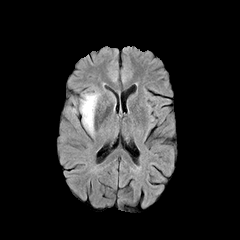
FLAIR MRI.
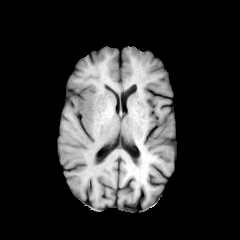
T1-weighted magnetic resonance.
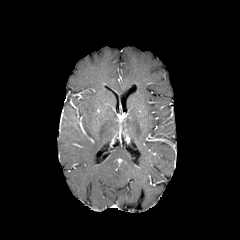
Post-contrast T1-weighted magnetic resonance of the same slice.
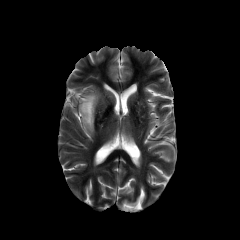
T2-weighted magnetic resonance of the same slice.
Head
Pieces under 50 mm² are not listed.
peritumoral_edema:
  - box=[80, 92, 99, 134]